Slice 72 of 155; Axial slice
FLAIR MRI.
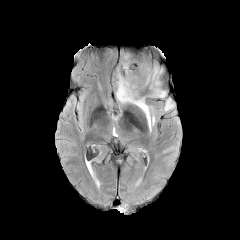
T1-weighted magnetic resonance.
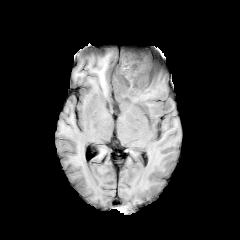
Post-contrast T1-weighted MR image.
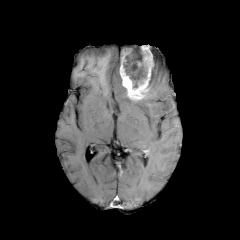
T2-weighted magnetic resonance.
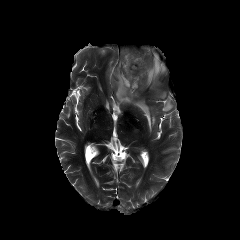
Annotated regions:
• peritumoral edema: (116, 66, 155, 131), (146, 61, 170, 97), (164, 99, 173, 111)
• enhancing tumor: (119, 46, 157, 100)
• necrotic tumor core: (123, 49, 146, 87)